FLAIR MRI.
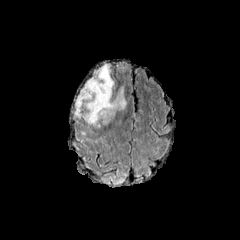
T1-weighted MR.
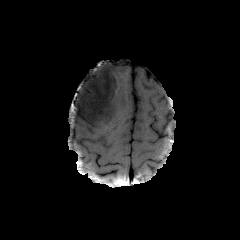
Post-contrast T1-weighted MRI.
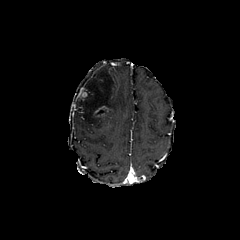
T2-weighted MR.
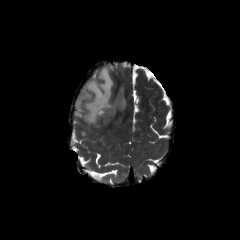
Axial slice | Head
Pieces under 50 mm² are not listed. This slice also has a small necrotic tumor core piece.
- peritumoral edema: box(74, 64, 126, 128)
- enhancing tumor: box(93, 106, 112, 118); box(78, 89, 87, 101)